FLAIR magnetic resonance.
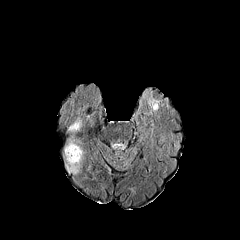
T1-weighted MRI.
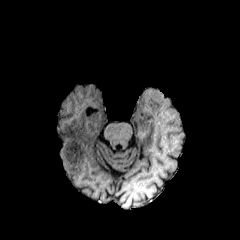
Post-contrast T1-weighted MR image.
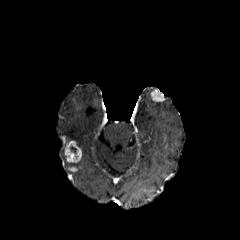
T2-weighted MR image.
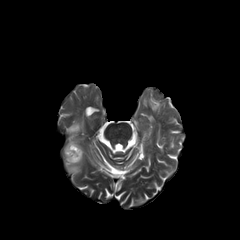
Image size 240x240 | Brain
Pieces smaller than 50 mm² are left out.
{"necrotic_tumor_core": ["70,146,77,155"], "peritumoral_edema": ["68,122,81,132", "64,140,83,174"], "enhancing_tumor": ["65,140,81,161"]}